FLAIR MR image.
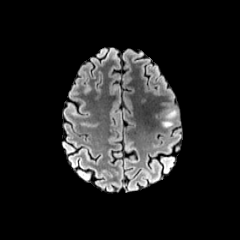
T1-weighted magnetic resonance.
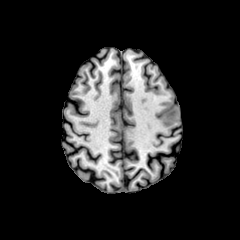
Post-contrast T1-weighted MR image.
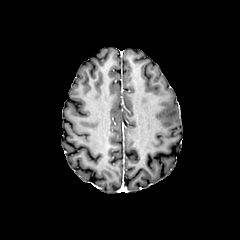
T2-weighted magnetic resonance.
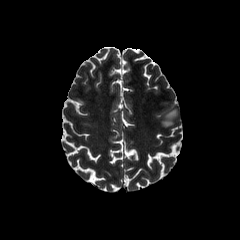
Head; 240x240
peritumoral edema at 161:109:177:127